Slice 112/155. Axial view. Head. 240x240 px.
FLAIR magnetic resonance.
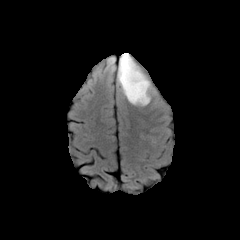
T1-weighted MR image.
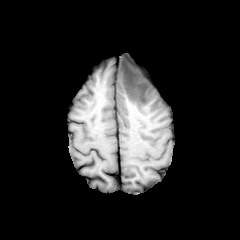
Post-contrast T1-weighted MR.
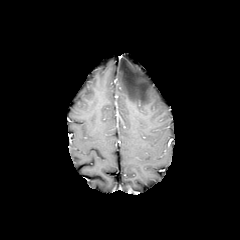
T2-weighted magnetic resonance.
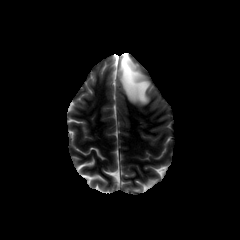
* peritumoral edema: x1=118, y1=53, x2=151, y2=105